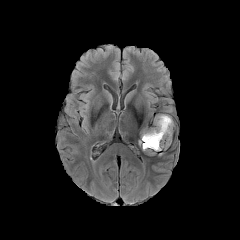
FLAIR MR.
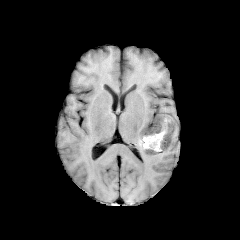
T1-weighted MR image of the same slice.
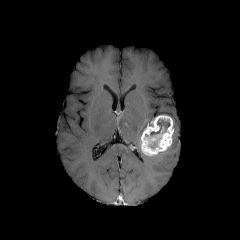
Same slice, post-contrast T1-weighted MRI.
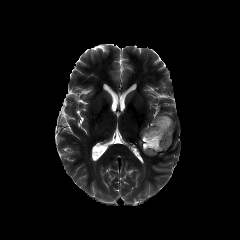
Same slice, T2-weighted MR.
Head
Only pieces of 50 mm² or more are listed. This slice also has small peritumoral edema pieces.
enhancing tumor: (141, 115, 173, 155)
necrotic tumor core: (150, 119, 169, 135)